Slice 71/155; Axial view; Image covers 240 mm x 240 mm
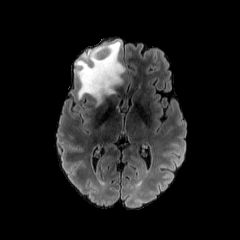
FLAIR MRI.
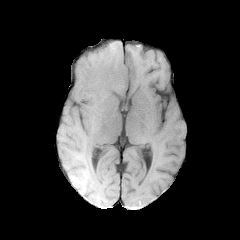
T1-weighted MRI.
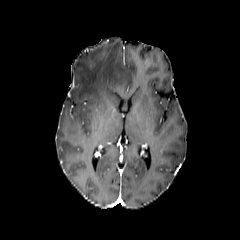
Same slice, post-contrast T1-weighted MR.
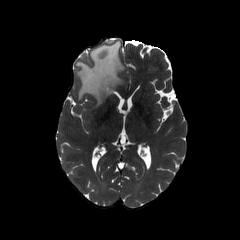
T2-weighted MR.
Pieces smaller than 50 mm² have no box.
<segmentation>
  <peritumoral_edema>[x1=76, y1=41, x2=125, y2=105]</peritumoral_edema>
</segmentation>